Axial slice, Head, Slice 48 of 155
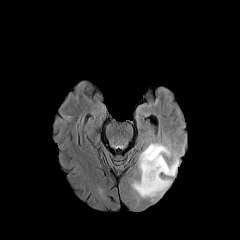
FLAIR MR.
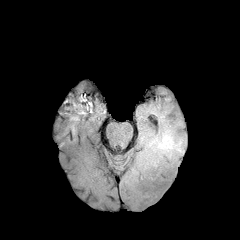
T1-weighted magnetic resonance.
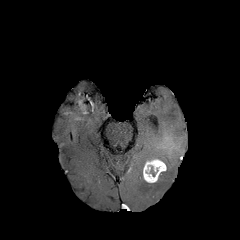
Post-contrast T1-weighted MR.
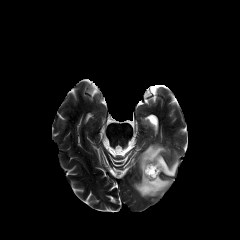
T2-weighted MR.
The enhancing tumor is at [143, 159, 166, 183]. The necrotic tumor core lies within [145, 165, 161, 176]. The peritumoral edema lies within [132, 143, 179, 200].